FLAIR MR.
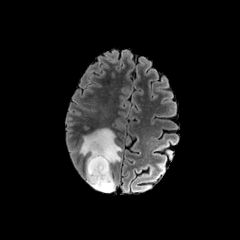
T1-weighted MRI.
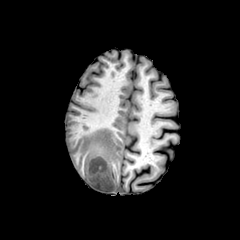
Post-contrast T1-weighted magnetic resonance.
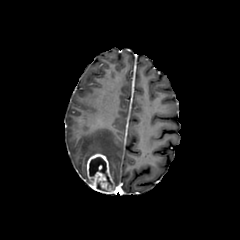
T2-weighted MR.
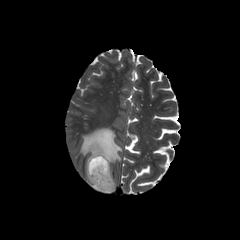
Axial view
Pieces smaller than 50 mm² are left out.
Annotated regions:
- necrotic tumor core: 89 157 112 185
- enhancing tumor: 87 153 115 193
- peritumoral edema: 79 128 121 182